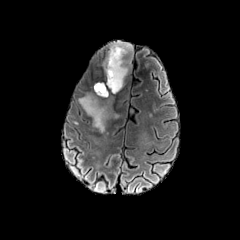
FLAIR magnetic resonance.
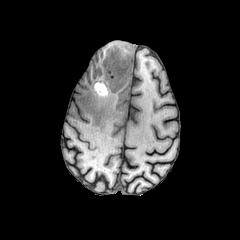
T1-weighted MR.
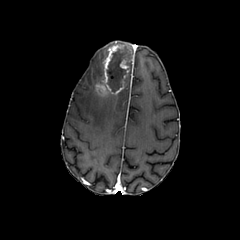
Post-contrast T1-weighted MRI.
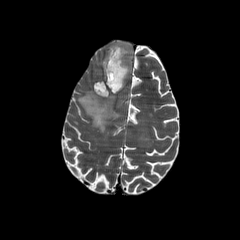
Same slice, T2-weighted MR.
Head
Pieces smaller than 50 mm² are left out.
<segmentation>
  <necrotic_tumor_core>{"x1": 107, "y1": 47, "x2": 130, "y2": 92}</necrotic_tumor_core>
  <enhancing_tumor>{"x1": 95, "y1": 43, "x2": 131, "y2": 96}</enhancing_tumor>
  <peritumoral_edema>{"x1": 78, "y1": 84, "x2": 118, "y2": 132}</peritumoral_edema>
</segmentation>